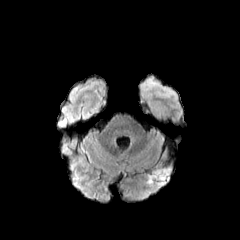
FLAIR MR.
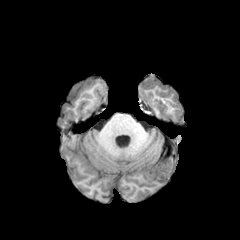
T1-weighted magnetic resonance.
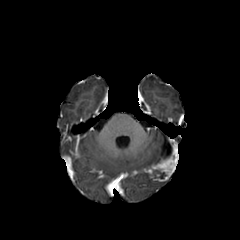
Same slice, post-contrast T1-weighted magnetic resonance.
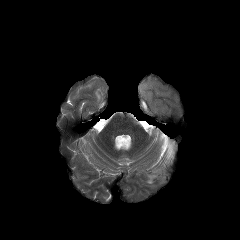
Same slice, T2-weighted MR image.
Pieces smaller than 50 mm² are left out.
necrotic tumor core: bounding box (left=153, top=170, right=165, bottom=178)
peritumoral edema: bounding box (left=146, top=173, right=154, bottom=186)
enhancing tumor: bounding box (left=148, top=157, right=173, bottom=181)